FLAIR MRI.
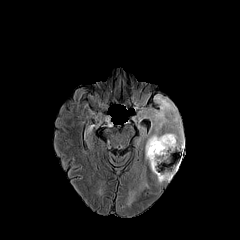
T1-weighted MRI.
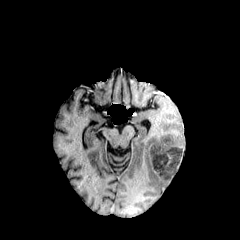
Post-contrast T1-weighted MR image.
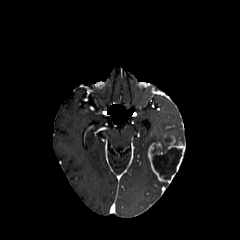
T2-weighted MR image.
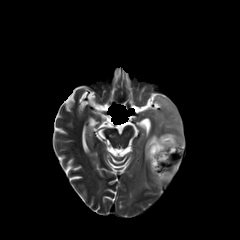
Image size 240x240. Head.
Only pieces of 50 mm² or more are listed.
The 2 largest enhancing tumor regions are bounded by [x1=167, y1=135, x2=184, y2=171], [x1=147, y1=142, x2=174, y2=182]. The largest peritumoral edema region is located at [x1=145, y1=96, x2=184, y2=160]. The necrotic tumor core lies within [x1=152, y1=136, x2=181, y2=179].